Slice 56 of 155, Head, Axial view
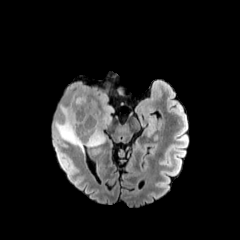
FLAIR MR image.
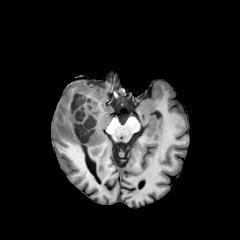
T1-weighted MR of the same slice.
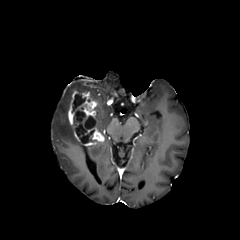
Same slice, post-contrast T1-weighted MR image.
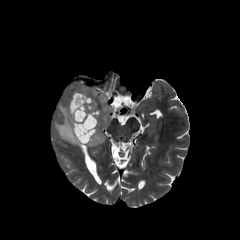
T2-weighted MRI.
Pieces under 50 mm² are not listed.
enhancing_tumor:
  - (68,91,104,145)
necrotic_tumor_core:
  - (76,116,95,142)
  - (73,94,84,109)
  - (75,111,84,121)
peritumoral_edema:
  - (55,104,83,150)
  - (75,84,113,140)